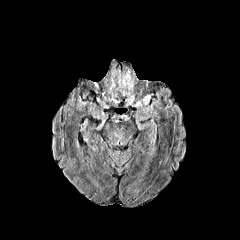
FLAIR MR.
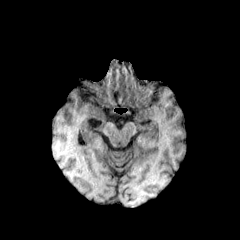
T1-weighted magnetic resonance.
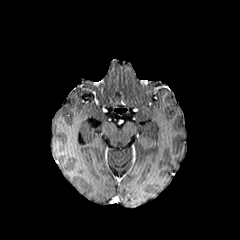
Post-contrast T1-weighted MRI.
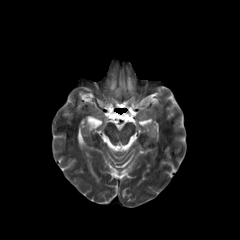
T2-weighted MR image.
Brain; 240x240 px; Axial plane
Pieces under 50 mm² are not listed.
peritumoral edema: 143,101,154,113; 102,64,136,107; 142,93,152,104